FLAIR MR.
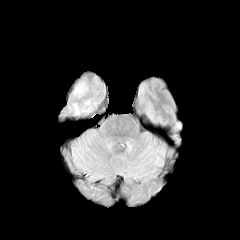
T1-weighted MR image.
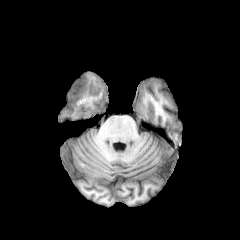
Post-contrast T1-weighted MRI.
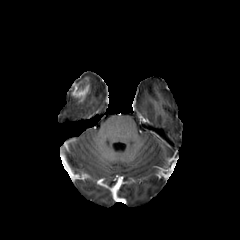
T2-weighted magnetic resonance.
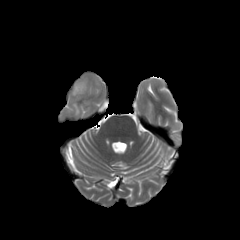
Axial view. Brain.
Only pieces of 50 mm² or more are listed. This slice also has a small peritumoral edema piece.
enhancing_tumor:
  - box=[72, 77, 88, 99]